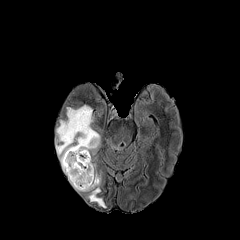
FLAIR MR image.
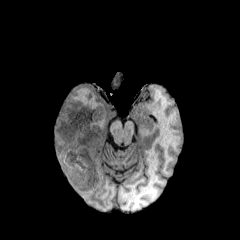
T1-weighted MR image.
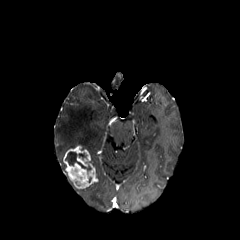
Post-contrast T1-weighted magnetic resonance.
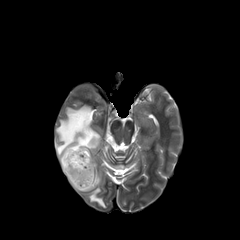
T2-weighted magnetic resonance.
Head. Axial view. 240x240.
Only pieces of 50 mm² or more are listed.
peritumoral_edema:
  - l=74, t=173, r=105, b=207
  - l=56, t=105, r=100, b=170
enhancing_tumor:
  - l=63, t=145, r=98, b=188
necrotic_tumor_core:
  - l=65, t=151, r=91, b=170